Slice index 90; Axial plane
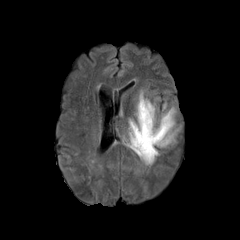
FLAIR MR image.
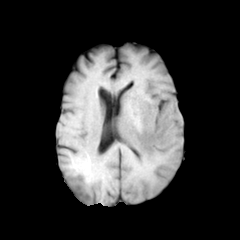
T1-weighted magnetic resonance.
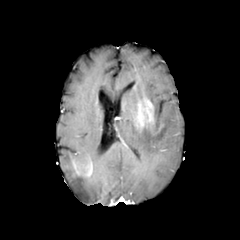
Post-contrast T1-weighted MRI of the same slice.
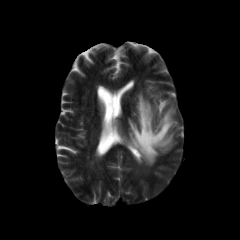
T2-weighted magnetic resonance.
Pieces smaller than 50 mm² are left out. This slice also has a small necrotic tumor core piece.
peritumoral edema at bbox=[134, 90, 148, 117]; bbox=[123, 103, 178, 165]
enhancing tumor at bbox=[137, 99, 154, 129]